FLAIR MR image.
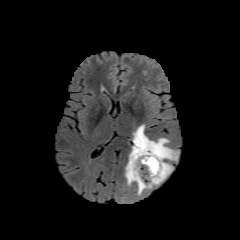
T1-weighted magnetic resonance.
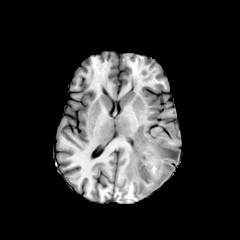
Post-contrast T1-weighted MRI.
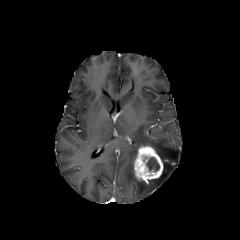
T2-weighted MR.
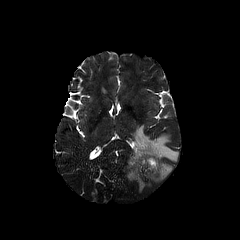
Brain, Axial plane
The necrotic tumor core appears at region(146, 157, 159, 171). The enhancing tumor is located at region(132, 146, 163, 182). The peritumoral edema appears at region(125, 124, 178, 194).